FLAIR magnetic resonance.
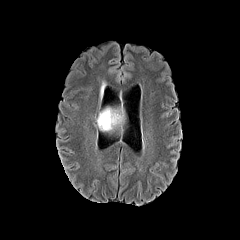
T1-weighted MR image.
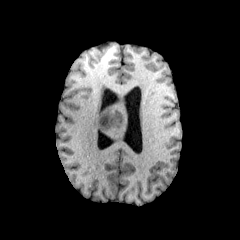
Post-contrast T1-weighted MR.
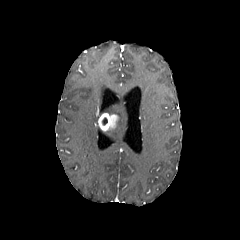
T2-weighted MRI.
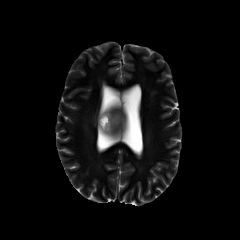
240x240 px | Head | Axial slice
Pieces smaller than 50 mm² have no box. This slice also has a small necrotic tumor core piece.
peritumoral_edema:
  - left=96, top=108, right=123, bottom=126
enhancing_tumor:
  - left=98, top=113, right=118, bottom=131